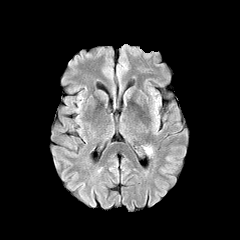
FLAIR magnetic resonance.
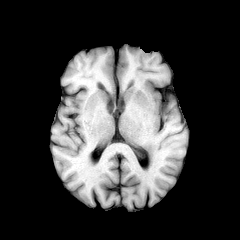
Same slice, T1-weighted MRI.
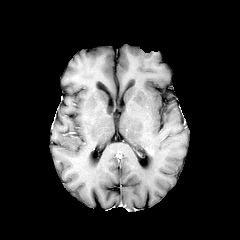
Post-contrast T1-weighted MRI.
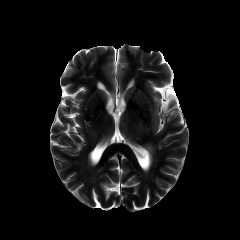
Same slice, T2-weighted MR image.
enhancing tumor: (left=141, top=139, right=154, bottom=154)